Slice index 92. 240x240.
FLAIR magnetic resonance.
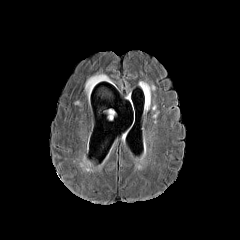
T1-weighted MR.
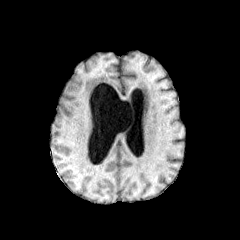
Post-contrast T1-weighted MRI.
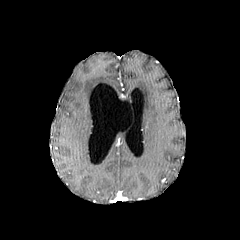
T2-weighted MRI.
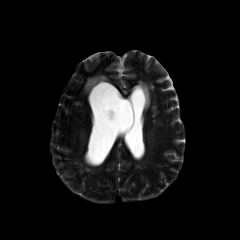
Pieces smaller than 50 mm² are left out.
peritumoral edema: bounding box 85:74:112:97